FLAIR magnetic resonance.
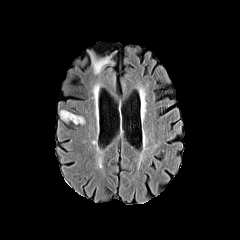
T1-weighted magnetic resonance.
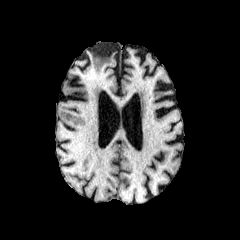
Post-contrast T1-weighted magnetic resonance.
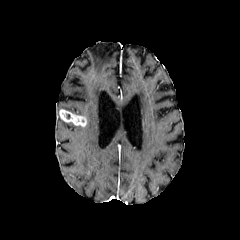
T2-weighted MR.
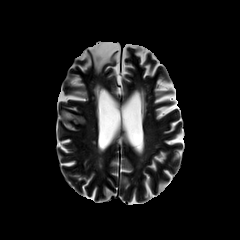
Axial view, Head
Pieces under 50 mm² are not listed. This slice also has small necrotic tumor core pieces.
Findings:
* enhancing tumor: [x1=59, y1=109, x2=86, y2=126]